FLAIR magnetic resonance.
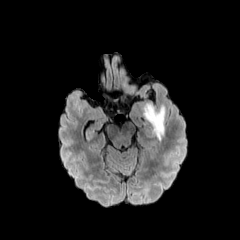
T1-weighted MRI.
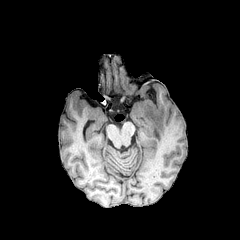
Post-contrast T1-weighted MRI.
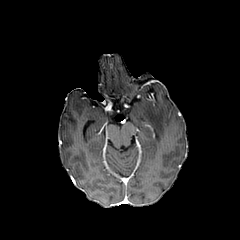
T2-weighted magnetic resonance.
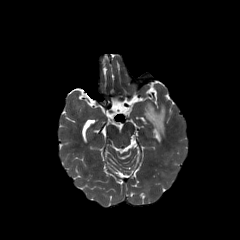
<segmentation>
  <peritumoral_edema>143, 103, 165, 140</peritumoral_edema>
</segmentation>